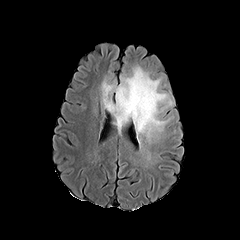
FLAIR magnetic resonance.
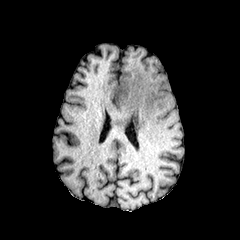
T1-weighted MR image.
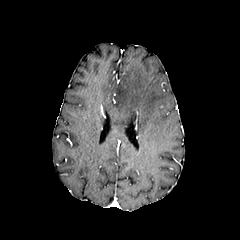
Post-contrast T1-weighted MRI of the same slice.
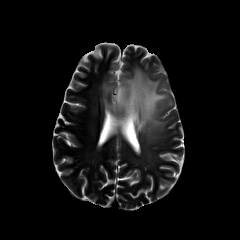
T2-weighted MRI.
Head. 240x240 px.
peritumoral edema: (101,66,172,137)